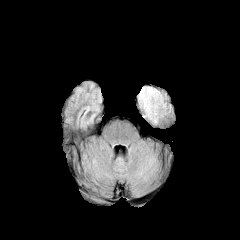
FLAIR MRI.
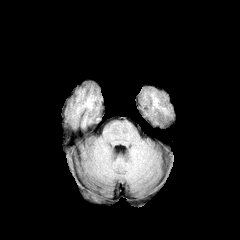
T1-weighted MRI.
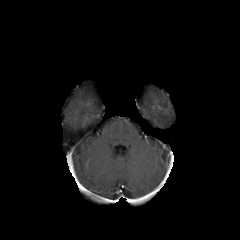
Same slice, post-contrast T1-weighted MR image.
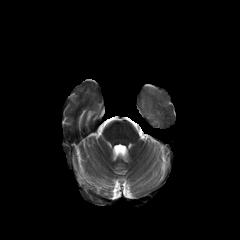
Same slice, T2-weighted MR image.
Brain, 240x240
peritumoral edema: bounding box left=138, top=86, right=164, bottom=122